FLAIR MRI.
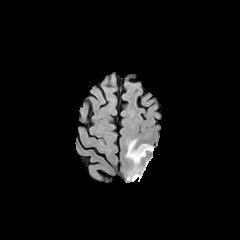
T1-weighted MR.
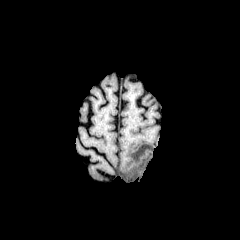
Post-contrast T1-weighted MR.
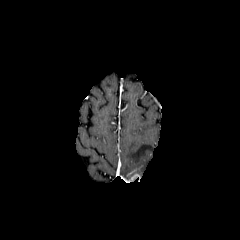
T2-weighted magnetic resonance.
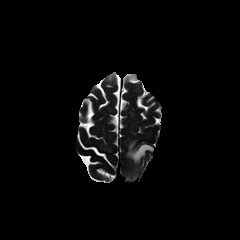
240x240 px; Axial view
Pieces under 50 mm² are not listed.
enhancing tumor: bounding box (x1=129, y1=174, x2=140, y2=181)
peritumoral edema: bounding box (x1=126, y1=139, x2=153, y2=180)